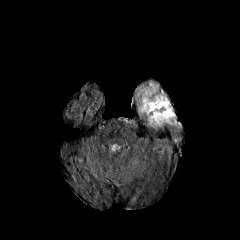
FLAIR MR.
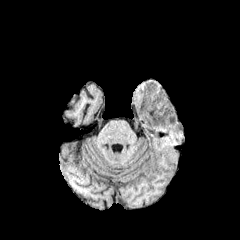
T1-weighted MRI of the same slice.
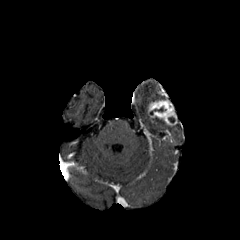
Post-contrast T1-weighted MR image of the same slice.
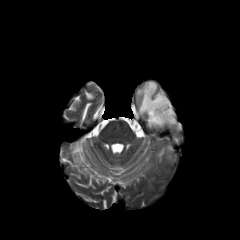
Same slice, T2-weighted magnetic resonance.
240x240. Head.
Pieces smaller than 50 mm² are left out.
<segmentation>
  <necrotic_tumor_core>x1=149, y1=106, x2=166, y2=115</necrotic_tumor_core>
  <peritumoral_edema>x1=137, y1=82, x2=166, y2=127</peritumoral_edema>
  <enhancing_tumor>x1=148, y1=99, x2=177, y2=125</enhancing_tumor>
</segmentation>